FLAIR MR.
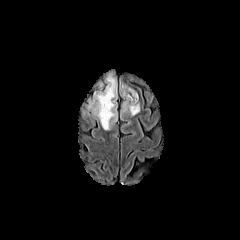
T1-weighted magnetic resonance.
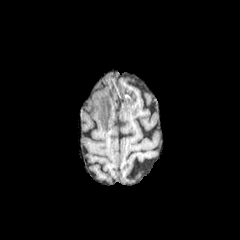
Post-contrast T1-weighted MR image.
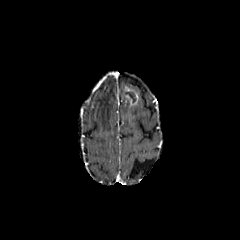
T2-weighted magnetic resonance.
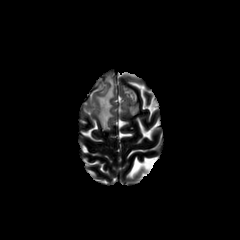
Axial view. 240x240 px.
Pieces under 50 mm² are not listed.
necrotic tumor core at (left=125, top=92, right=135, bottom=102)
peritumoral edema at (left=123, top=101, right=139, bottom=115), (left=93, top=73, right=116, bottom=130)
enhancing tumor at (left=123, top=86, right=138, bottom=106)